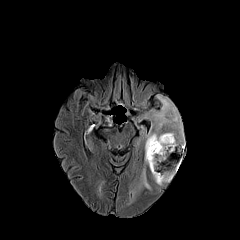
FLAIR MR.
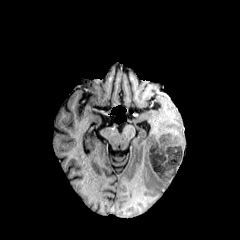
T1-weighted MRI.
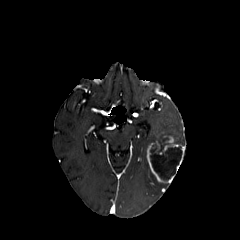
Post-contrast T1-weighted MR of the same slice.
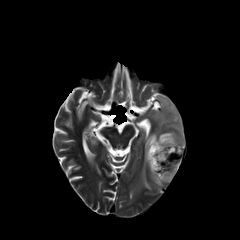
Same slice, T2-weighted MR.
Brain, Axial view
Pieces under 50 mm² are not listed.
peritumoral edema = (left=139, top=167, right=151, bottom=189), (left=145, top=96, right=184, bottom=163)
enhancing tumor = (left=146, top=141, right=174, bottom=183), (left=159, top=136, right=184, bottom=172)
necrotic tumor core = (left=150, top=137, right=182, bottom=180)